FLAIR MRI.
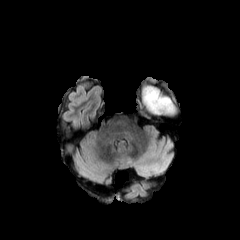
T1-weighted MRI.
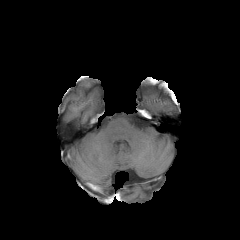
Post-contrast T1-weighted MR image.
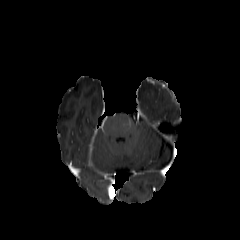
T2-weighted magnetic resonance.
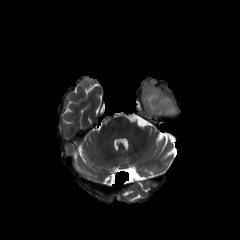
Axial view
The peritumoral edema is bounded by [x1=143, y1=86, x2=176, y2=115].